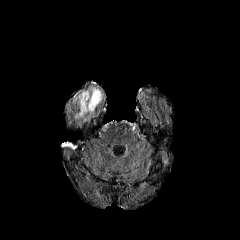
FLAIR MR image.
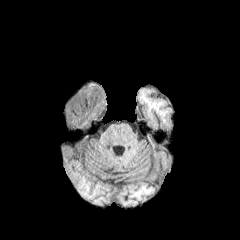
T1-weighted magnetic resonance.
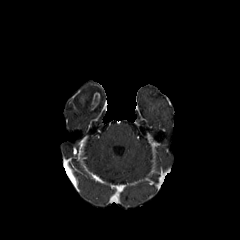
Post-contrast T1-weighted magnetic resonance of the same slice.
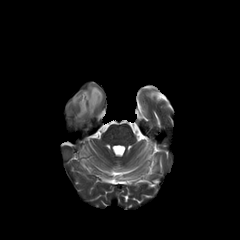
Same slice, T2-weighted magnetic resonance.
Brain
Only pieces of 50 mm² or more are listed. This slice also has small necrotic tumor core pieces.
The peritumoral edema is at <box>73,86,102,118</box>. The largest enhancing tumor region is located at <box>91,92,100,109</box>.